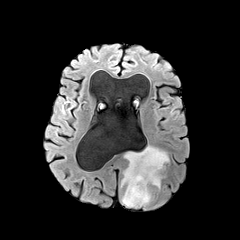
FLAIR MRI.
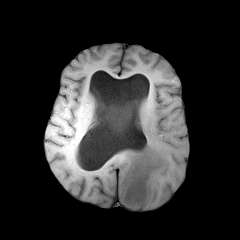
T1-weighted magnetic resonance.
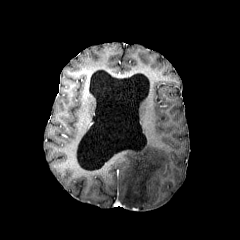
Post-contrast T1-weighted MRI of the same slice.
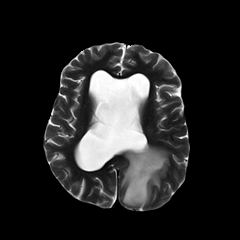
T2-weighted MR image.
Axial plane | 240x240 px
The peritumoral edema is bounded by [120, 145, 168, 207].